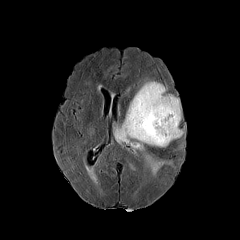
FLAIR MRI.
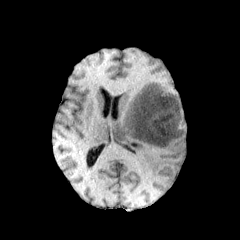
T1-weighted magnetic resonance.
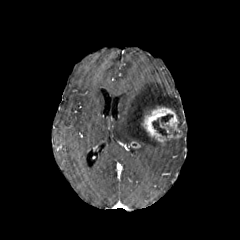
Post-contrast T1-weighted MRI.
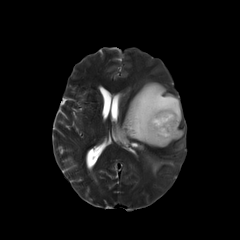
T2-weighted MRI.
Head, Axial slice
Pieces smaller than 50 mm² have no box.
Segmented structures:
• necrotic tumor core: region(152, 119, 167, 137); region(161, 114, 172, 122)
• enhancing tumor: region(141, 105, 182, 145); region(130, 141, 140, 148)
• peritumoral edema: region(176, 124, 186, 149); region(114, 81, 181, 178)